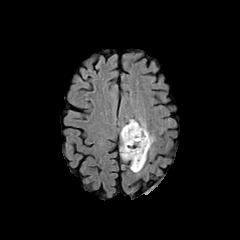
FLAIR MR.
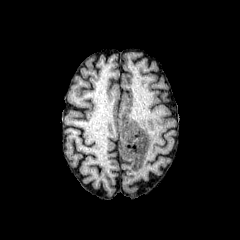
Same slice, T1-weighted MR image.
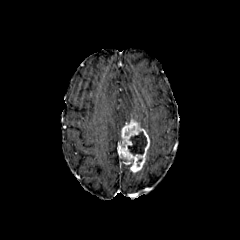
Post-contrast T1-weighted MR image of the same slice.
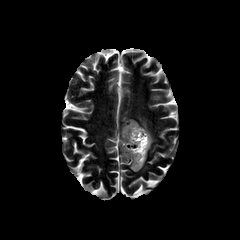
T2-weighted magnetic resonance.
Axial view; Brain; Image size 240x240
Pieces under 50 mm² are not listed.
necrotic tumor core: bounding box x1=128, y1=132, x2=146, y2=155
enhancing tumor: bounding box x1=119, y1=119, x2=150, y2=172
peritumoral edema: bounding box x1=139, y1=117, x2=154, y2=150